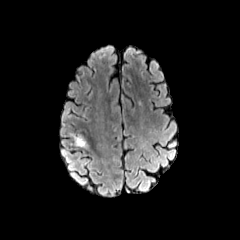
FLAIR MR image.
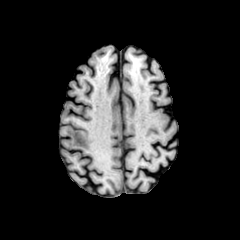
T1-weighted MR image.
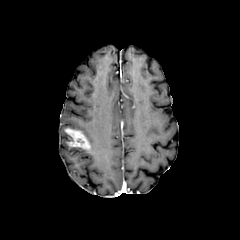
Post-contrast T1-weighted MR image.
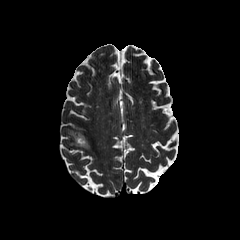
T2-weighted MRI of the same slice.
240x240
enhancing_tumor:
  - <bbox>65, 128, 90, 149</bbox>